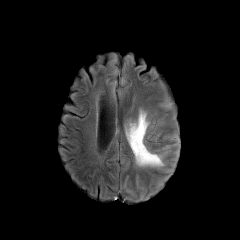
FLAIR MR.
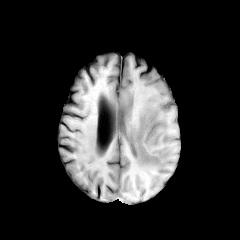
T1-weighted magnetic resonance.
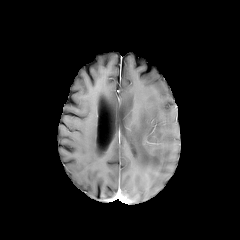
Post-contrast T1-weighted magnetic resonance.
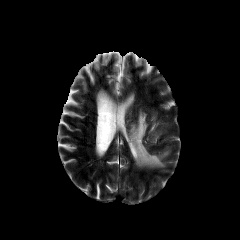
Same slice, T2-weighted MR.
Axial plane. Head.
peritumoral edema: bounding box (x1=126, y1=111, x2=163, y2=166)